FLAIR magnetic resonance.
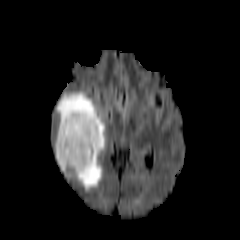
T1-weighted magnetic resonance.
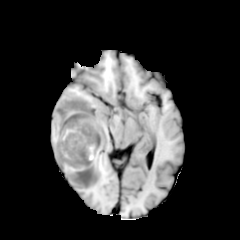
Post-contrast T1-weighted MR image.
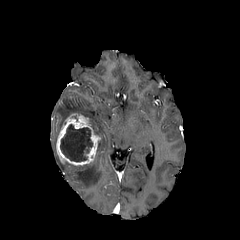
T2-weighted magnetic resonance.
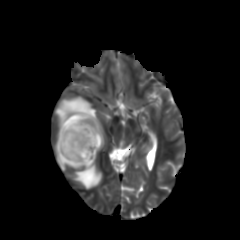
240x240. Head.
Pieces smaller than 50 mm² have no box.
Annotated regions:
• necrotic tumor core: region(60, 124, 92, 161)
• peritumoral edema: region(56, 91, 105, 190); region(56, 153, 65, 171)
• enhancing tumor: region(56, 112, 100, 166)